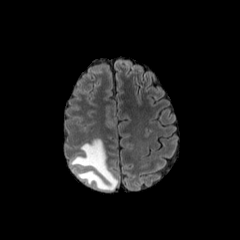
FLAIR MR.
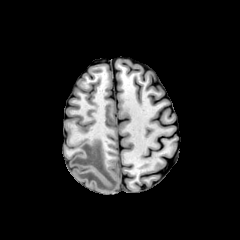
T1-weighted MR image.
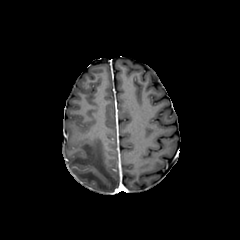
Same slice, post-contrast T1-weighted MRI.
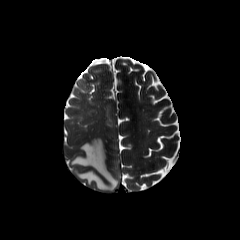
T2-weighted magnetic resonance of the same slice.
The peritumoral edema is bounded by (left=71, top=138, right=118, bottom=190).